Axial view | Slice 77 of 155 | Head | Image size 240x240
FLAIR magnetic resonance.
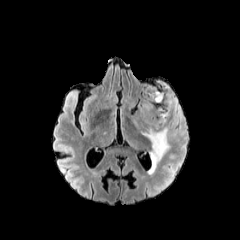
T1-weighted MRI.
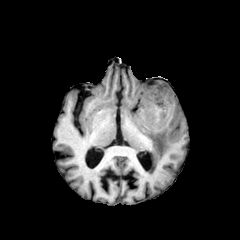
Post-contrast T1-weighted MRI.
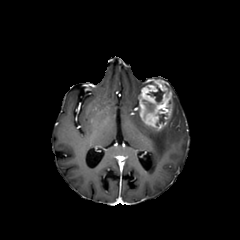
T2-weighted magnetic resonance.
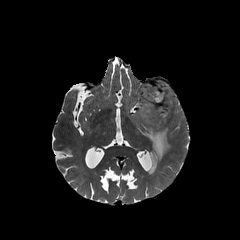
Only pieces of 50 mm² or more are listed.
The 3 largest necrotic tumor core regions are located at <box>145,102,154,111</box>, <box>147,86,164,102</box>, <box>158,114,166,123</box>. The enhancing tumor lies within <box>139,80,172,130</box>. The 2 largest peritumoral edema regions appear at <box>141,126,170,173</box>, <box>172,96,182,124</box>.